Image covers 240 mm x 240 mm. Axial slice. Image size 240x240.
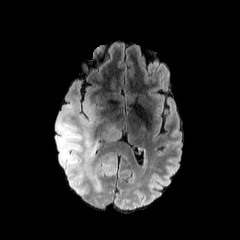
FLAIR MRI.
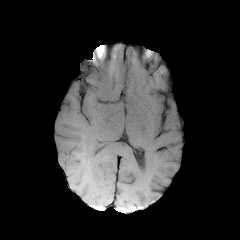
T1-weighted MRI.
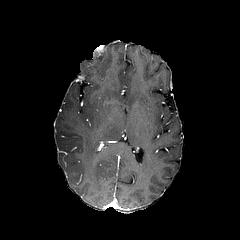
Post-contrast T1-weighted MR image.
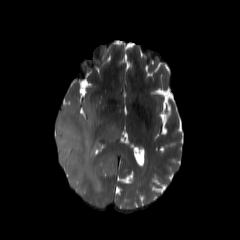
T2-weighted magnetic resonance.
2 peritumoral edema regions are bounded by [55, 95, 116, 195], [103, 125, 121, 140].